Brain
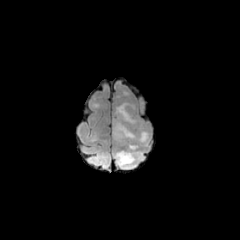
FLAIR MR.
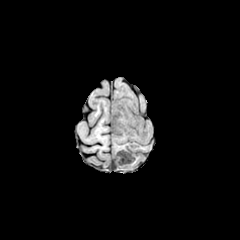
Same slice, T1-weighted MR.
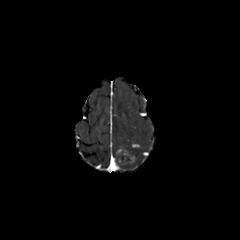
Post-contrast T1-weighted MR.
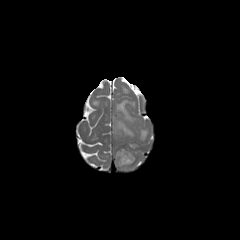
T2-weighted magnetic resonance.
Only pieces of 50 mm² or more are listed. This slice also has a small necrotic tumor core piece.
The largest enhancing tumor region lies within x1=116 y1=148 x2=135 y2=164. The 2 largest peritumoral edema regions are located at x1=113 y1=102 x2=148 y2=142, x1=113 y1=143 x2=143 y2=169.